Image covers 240 mm x 240 mm, Slice 64/155, Brain
FLAIR MR image.
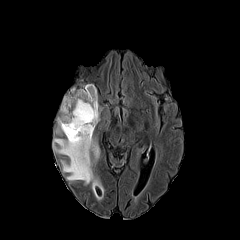
T1-weighted MR image.
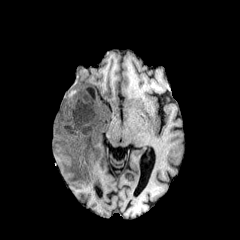
Post-contrast T1-weighted MR.
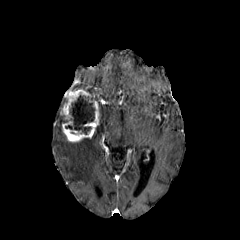
T2-weighted MR image.
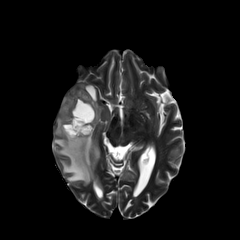
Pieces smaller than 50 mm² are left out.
The largest necrotic tumor core region is bounded by x1=65, y1=95, x2=96, y2=134. The largest enhancing tumor region lies within x1=60, y1=85, x2=99, y2=142. The largest peritumoral edema region is located at x1=53, y1=116, x2=103, y2=200.